Axial slice; Slice 129 of 155
FLAIR MR image.
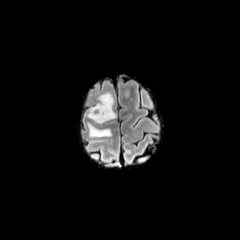
T1-weighted magnetic resonance.
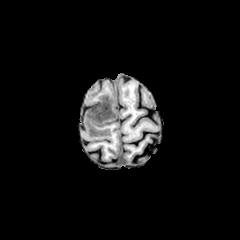
Post-contrast T1-weighted magnetic resonance.
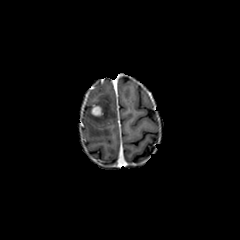
T2-weighted MR.
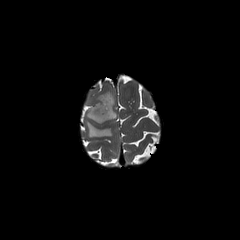
peritumoral_edema:
  - <bbox>85, 91, 116, 137</bbox>
enhancing_tumor:
  - <bbox>91, 105, 102, 116</bbox>